240x240, Slice index 103, Axial view, Image covers 240 mm x 240 mm
FLAIR MR image.
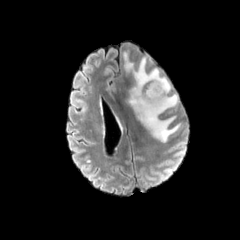
T1-weighted MR.
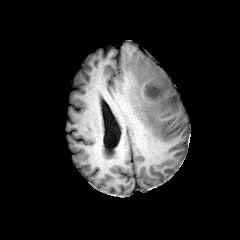
Post-contrast T1-weighted magnetic resonance.
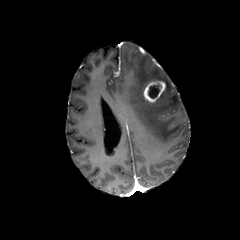
T2-weighted MRI.
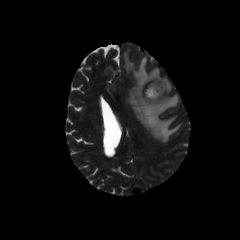
necrotic tumor core = (left=148, top=84, right=159, bottom=98)
peritumoral edema = (left=123, top=51, right=179, bottom=142)
enhancing tumor = (left=143, top=80, right=166, bottom=102)